Brain | Axial view
FLAIR MRI.
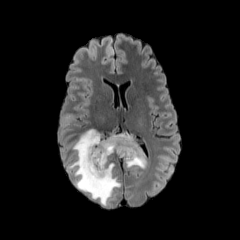
T1-weighted MR.
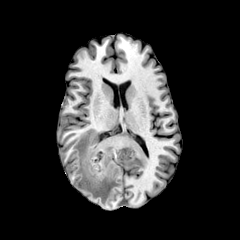
Post-contrast T1-weighted MR.
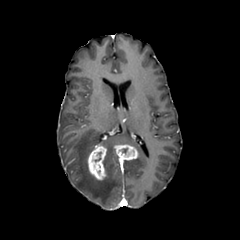
T2-weighted magnetic resonance.
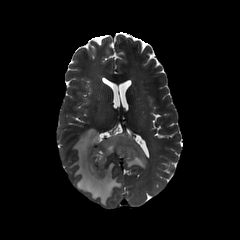
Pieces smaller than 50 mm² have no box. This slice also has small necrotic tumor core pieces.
{"enhancing_tumor": ["left=87, top=145, right=106, bottom=180", "left=114, top=145, right=137, bottom=160"], "peritumoral_edema": ["left=67, top=129, right=146, bottom=206"]}